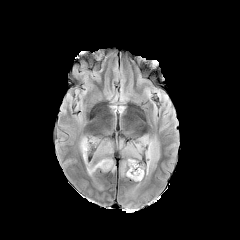
FLAIR MR image.
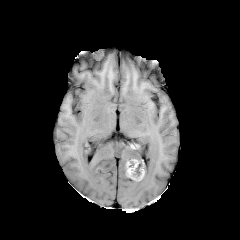
Same slice, T1-weighted MR.
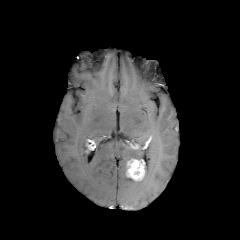
Post-contrast T1-weighted magnetic resonance.
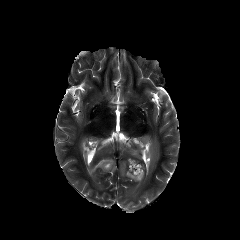
T2-weighted magnetic resonance.
Head. Image size 240x240.
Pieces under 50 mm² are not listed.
<segmentation>
  <enhancing_tumor>box=[126, 159, 144, 181]</enhancing_tumor>
  <peritumoral_edema>box=[123, 135, 148, 159]; box=[145, 139, 159, 175]; box=[80, 137, 115, 175]</peritumoral_edema>
</segmentation>